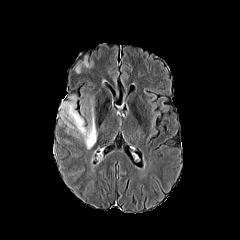
FLAIR magnetic resonance.
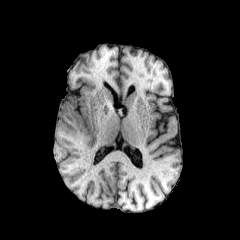
T1-weighted MR image of the same slice.
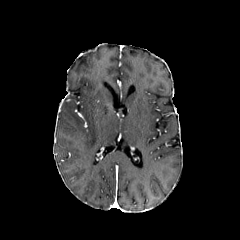
Post-contrast T1-weighted MR image.
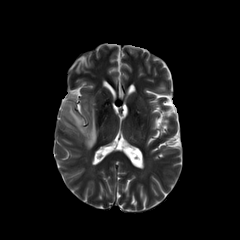
T2-weighted MR.
Axial plane.
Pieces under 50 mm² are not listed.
peritumoral_edema:
  - [74, 54, 94, 73]
  - [60, 94, 97, 149]